Brain | Slice index 99
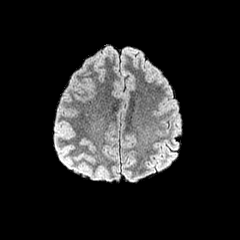
FLAIR MR image.
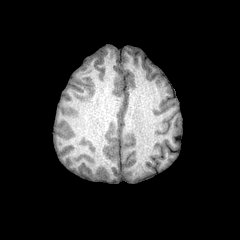
Same slice, T1-weighted MRI.
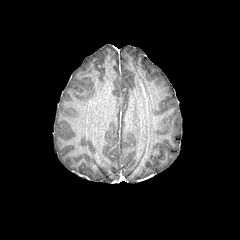
Post-contrast T1-weighted magnetic resonance.
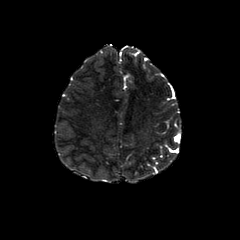
Same slice, T2-weighted magnetic resonance.
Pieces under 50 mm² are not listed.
The largest peritumoral edema region is bounded by box=[94, 47, 114, 59].